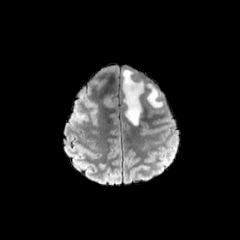
FLAIR MR.
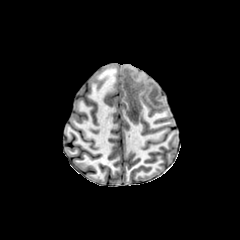
Same slice, T1-weighted magnetic resonance.
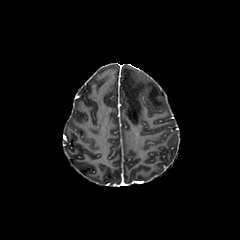
Post-contrast T1-weighted MRI.
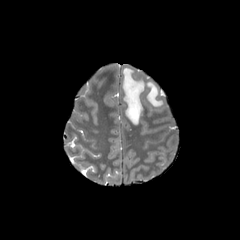
Same slice, T2-weighted MR.
240x240 px
peritumoral edema: x1=123, y1=69, x2=144, y2=125; x1=147, y1=84, x2=162, y2=107